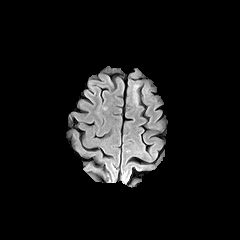
FLAIR MR.
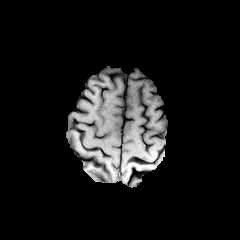
T1-weighted MR.
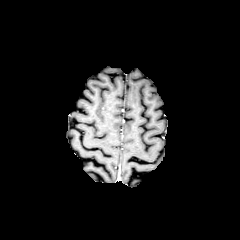
Post-contrast T1-weighted MR of the same slice.
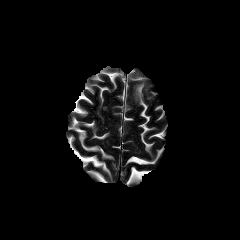
Same slice, T2-weighted magnetic resonance.
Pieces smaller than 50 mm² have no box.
peritumoral edema — <bbox>133, 84, 139, 103</bbox>